FLAIR magnetic resonance.
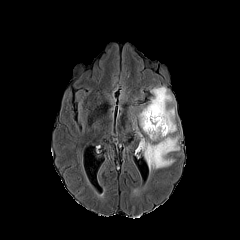
T1-weighted MR.
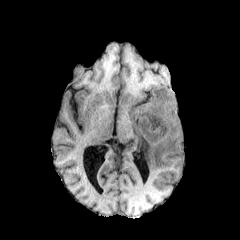
Post-contrast T1-weighted magnetic resonance.
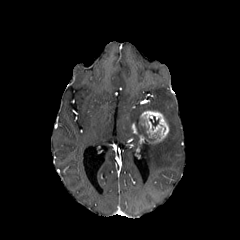
T2-weighted MR image.
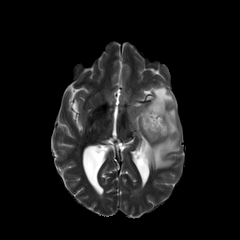
Axial plane; 240x240
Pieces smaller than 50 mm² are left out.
The enhancing tumor is at bbox=[140, 110, 169, 142]. The largest necrotic tumor core region is bounded by bbox=[149, 116, 159, 126]. The peritumoral edema appears at bbox=[134, 86, 179, 170].